Brain. 240x240. Image width 240 mm. Axial plane.
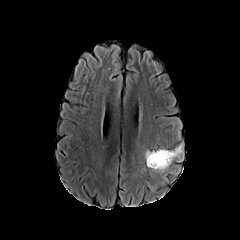
FLAIR MR.
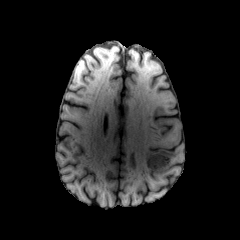
T1-weighted magnetic resonance of the same slice.
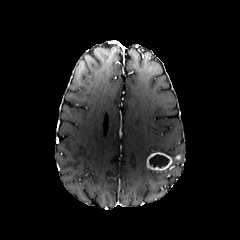
Post-contrast T1-weighted magnetic resonance.
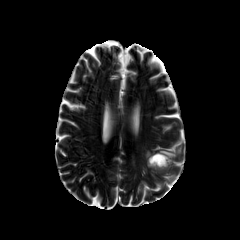
T2-weighted magnetic resonance.
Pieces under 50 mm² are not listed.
<segmentation>
  <peritumoral_edema>[x1=144, y1=150, x2=155, y2=159], [x1=156, y1=140, x2=184, y2=162]</peritumoral_edema>
  <enhancing_tumor>[x1=146, y1=152, x2=171, y2=170]</enhancing_tumor>
  <necrotic_tumor_core>[x1=149, y1=154, x2=169, y2=167]</necrotic_tumor_core>
</segmentation>